Head, 240x240
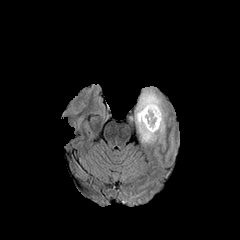
FLAIR MRI.
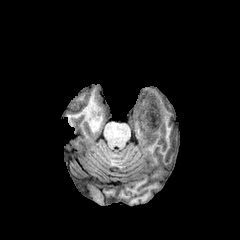
Same slice, T1-weighted MR.
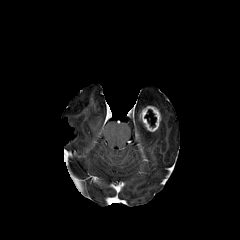
Post-contrast T1-weighted MR image of the same slice.
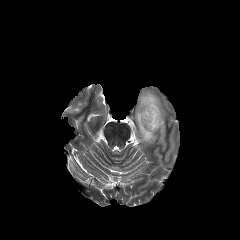
Same slice, T2-weighted magnetic resonance.
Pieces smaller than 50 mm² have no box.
<segmentation>
  <necrotic_tumor_core>(x1=144, y1=109, x2=156, y2=127)</necrotic_tumor_core>
  <enhancing_tumor>(x1=139, y1=106, x2=161, y2=131)</enhancing_tumor>
  <peritumoral_edema>(x1=135, y1=90, x2=165, y2=143)</peritumoral_edema>
</segmentation>